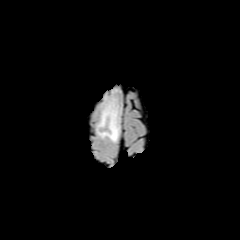
FLAIR magnetic resonance.
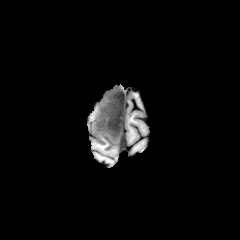
T1-weighted MR of the same slice.
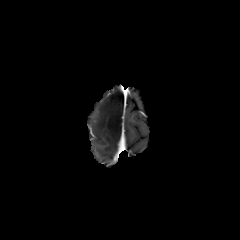
Same slice, post-contrast T1-weighted MR image.
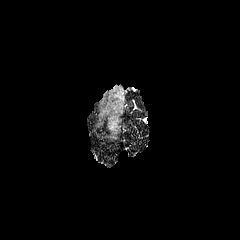
Same slice, T2-weighted MR image.
240x240 px | Brain
peritumoral edema at bbox(96, 89, 121, 142)